240x240 | Slice index 125 | Brain
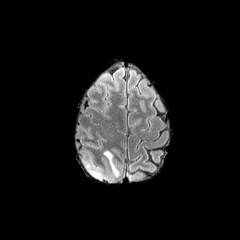
FLAIR magnetic resonance.
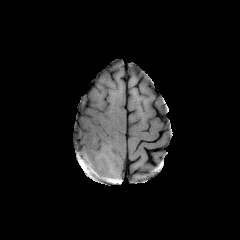
T1-weighted magnetic resonance of the same slice.
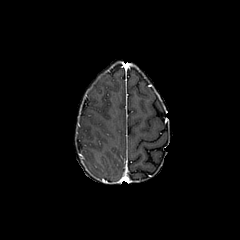
Same slice, post-contrast T1-weighted magnetic resonance.
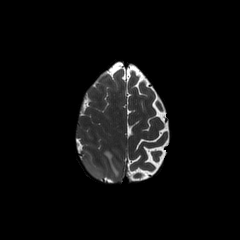
T2-weighted MR image.
peritumoral edema — 104, 150, 119, 176; 85, 162, 100, 177